FLAIR MR image.
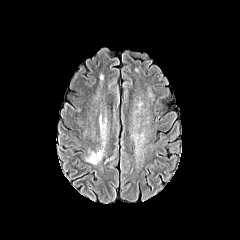
T1-weighted MR.
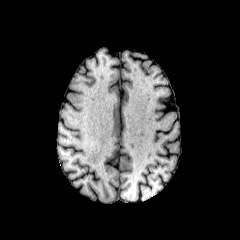
Post-contrast T1-weighted MR.
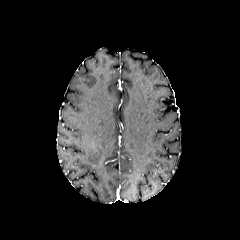
T2-weighted MR image.
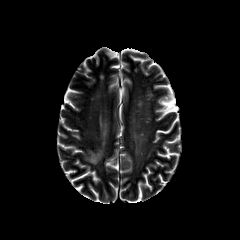
Axial plane.
<segmentation>
  <peritumoral_edema>(86, 130, 105, 164)</peritumoral_edema>
</segmentation>